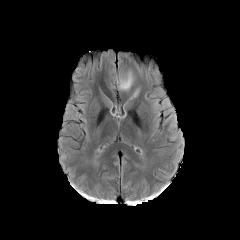
FLAIR MR.
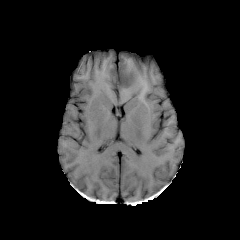
Same slice, T1-weighted magnetic resonance.
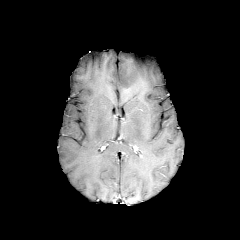
Same slice, post-contrast T1-weighted MR.
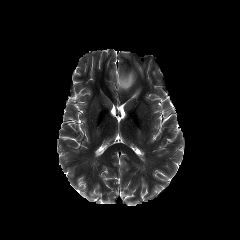
T2-weighted MR image.
240x240 px; Brain
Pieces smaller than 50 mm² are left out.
Findings:
- peritumoral edema: 116:71:135:90